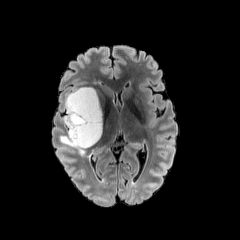
FLAIR MR.
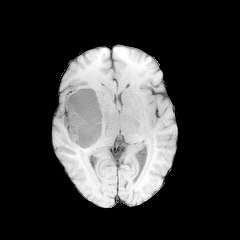
Same slice, T1-weighted MR image.
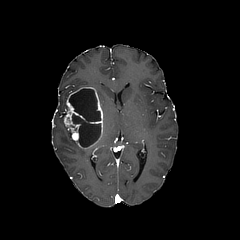
Post-contrast T1-weighted MR.
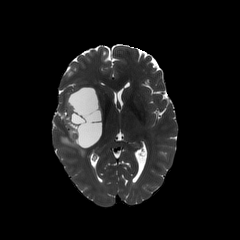
T2-weighted MR image.
Axial plane. Head.
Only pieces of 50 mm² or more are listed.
The largest necrotic tumor core region appears at [69,89,101,147]. The largest peritumoral edema region lies within [60,130,85,155]. The enhancing tumor appears at [64,87,102,148].